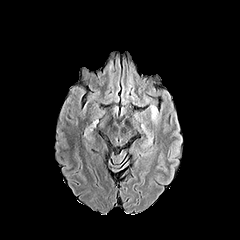
FLAIR MRI.
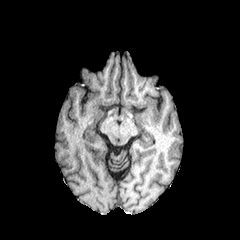
Same slice, T1-weighted MR image.
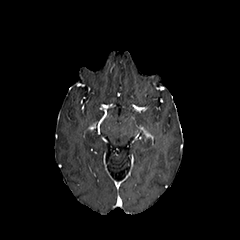
Post-contrast T1-weighted MR.
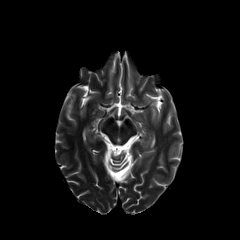
T2-weighted MR image.
Axial plane | 240x240
peritumoral edema at x1=151 y1=105 x2=157 y2=120